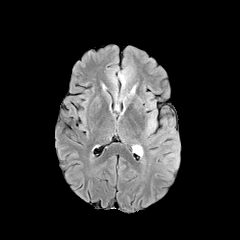
FLAIR MR.
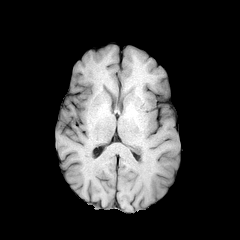
T1-weighted MRI.
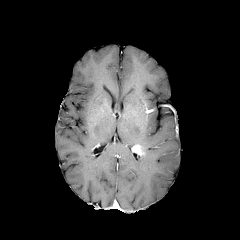
Post-contrast T1-weighted magnetic resonance of the same slice.
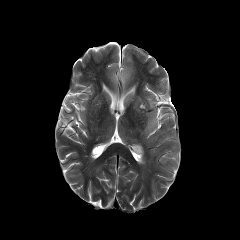
T2-weighted MRI.
240x240
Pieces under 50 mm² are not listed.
peritumoral edema = x1=147 y1=113 x2=155 y2=131
enhancing tumor = x1=132 y1=145 x2=143 y2=155